Axial plane; Head; Slice 84 of 155
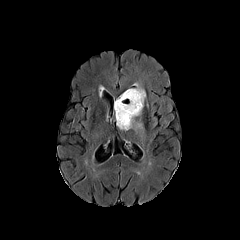
FLAIR magnetic resonance.
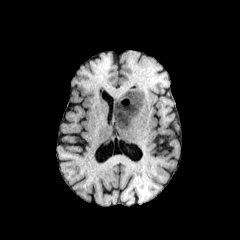
T1-weighted MR image.
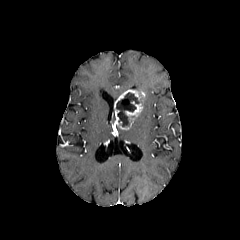
Post-contrast T1-weighted magnetic resonance.
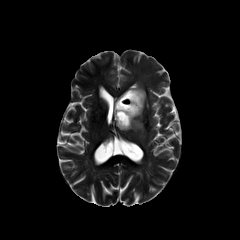
T2-weighted MR of the same slice.
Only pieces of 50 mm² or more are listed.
enhancing tumor = {"x1": 114, "y1": 89, "x2": 145, "y2": 130}
necrotic tumor core = {"x1": 116, "y1": 92, "x2": 139, "y2": 126}
peritumoral edema = {"x1": 130, "y1": 120, "x2": 143, "y2": 132}, {"x1": 131, "y1": 82, "x2": 145, "y2": 93}